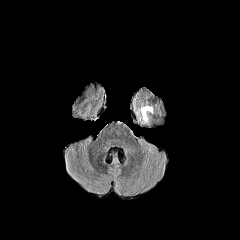
FLAIR magnetic resonance.
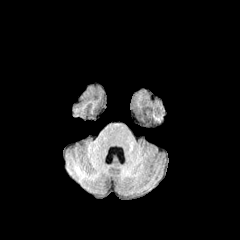
T1-weighted MRI.
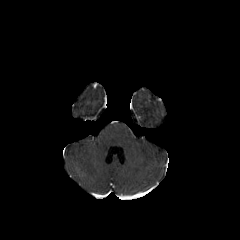
Post-contrast T1-weighted MR.
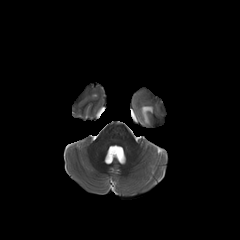
T2-weighted MR image of the same slice.
Image size 240x240
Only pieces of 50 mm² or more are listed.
Segmented structures:
- peritumoral edema: (136, 105, 153, 123)